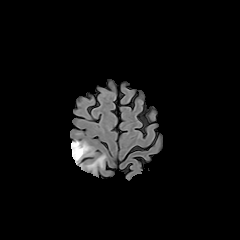
FLAIR MR.
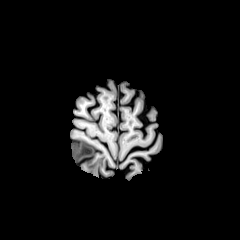
T1-weighted MR.
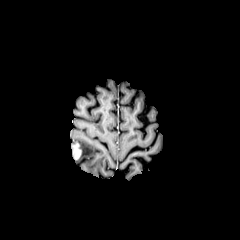
Post-contrast T1-weighted MR image.
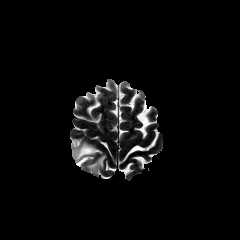
T2-weighted MR image.
Axial slice
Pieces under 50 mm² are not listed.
enhancing tumor at (73, 143, 81, 159)
peritumoral edema at (87, 154, 106, 173), (71, 141, 94, 163)